240x240, Axial plane, Head
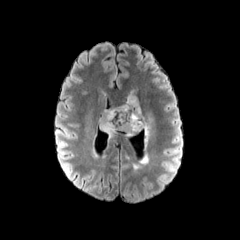
FLAIR MR.
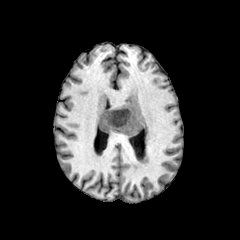
T1-weighted MR image.
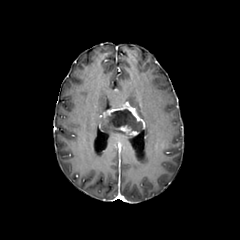
Same slice, post-contrast T1-weighted magnetic resonance.
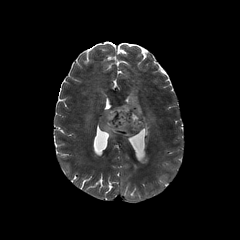
T2-weighted MRI of the same slice.
{
  "enhancing_tumor": [
    "box=[103, 102, 145, 135]"
  ],
  "necrotic_tumor_core": [
    "box=[108, 109, 142, 131]"
  ],
  "peritumoral_edema": [
    "box=[127, 96, 150, 140]",
    "box=[99, 118, 128, 137]"
  ]
}